FLAIR MR image.
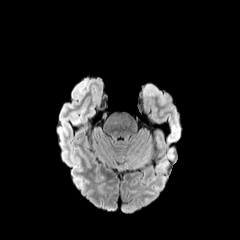
T1-weighted MR image.
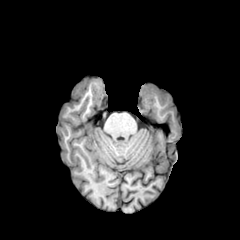
Post-contrast T1-weighted MR image.
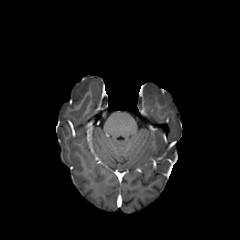
T2-weighted MR image.
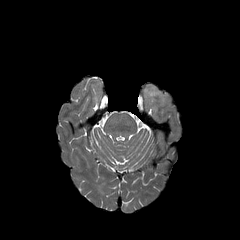
<segmentation>
  <peritumoral_edema>box(143, 84, 157, 96)</peritumoral_edema>
</segmentation>